FLAIR magnetic resonance.
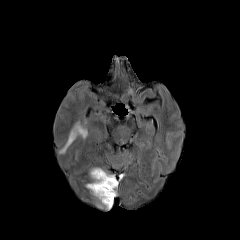
T1-weighted MRI.
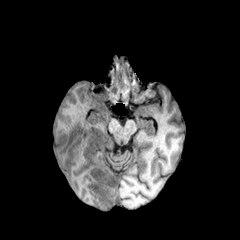
Post-contrast T1-weighted MRI.
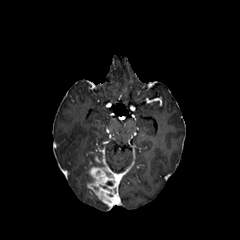
T2-weighted MRI.
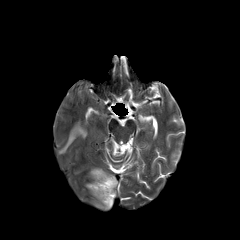
Head
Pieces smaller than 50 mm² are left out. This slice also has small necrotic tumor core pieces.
{"enhancing_tumor": ["[x1=87, y1=167, x2=119, y2=209]"], "peritumoral_edema": ["[x1=59, y1=122, x2=87, y2=153]"]}